Image covers 240 mm x 240 mm, Brain, Slice 125 of 155
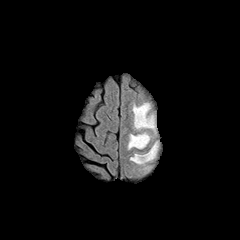
FLAIR MRI.
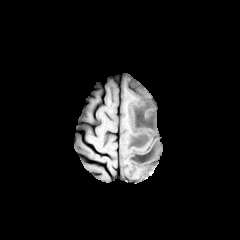
T1-weighted magnetic resonance of the same slice.
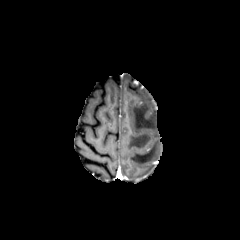
Post-contrast T1-weighted MR.
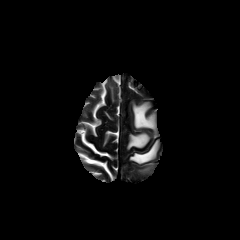
Same slice, T2-weighted MRI.
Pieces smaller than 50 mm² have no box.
The 3 largest peritumoral edema regions are bounded by (x1=130, y1=141, x2=159, y2=164), (x1=127, y1=132, x2=150, y2=149), (x1=132, y1=102, x2=156, y2=135).